FLAIR MRI.
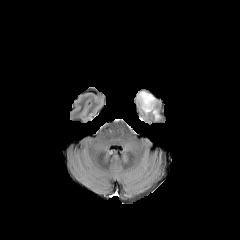
T1-weighted magnetic resonance.
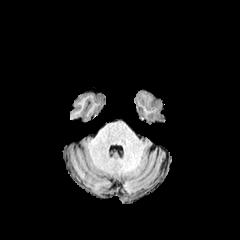
Post-contrast T1-weighted MRI.
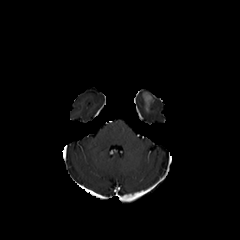
T2-weighted MRI.
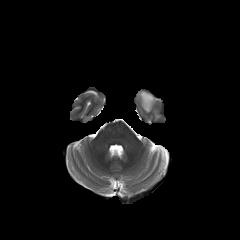
Head; 240x240; Axial plane
peritumoral_edema:
  - box=[137, 91, 160, 119]
enhancing_tumor:
  - box=[142, 92, 154, 111]